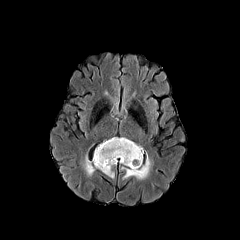
FLAIR MRI.
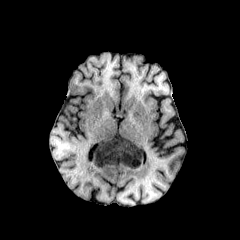
T1-weighted magnetic resonance of the same slice.
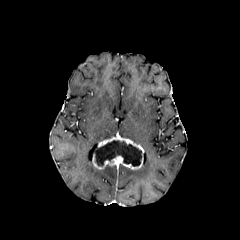
Same slice, post-contrast T1-weighted MRI.
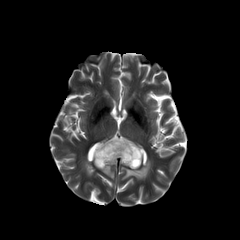
T2-weighted MR of the same slice.
necrotic tumor core — box(94, 140, 141, 166)
enhancing tumor — box(92, 136, 143, 169)
peritumoral edema — box(101, 166, 114, 178); box(84, 157, 96, 175); box(121, 159, 150, 179)